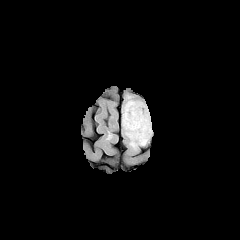
FLAIR magnetic resonance.
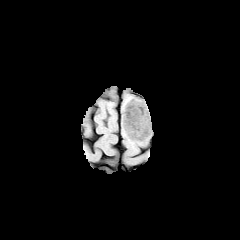
T1-weighted magnetic resonance.
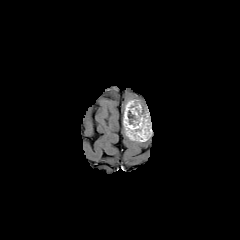
Post-contrast T1-weighted MR image.
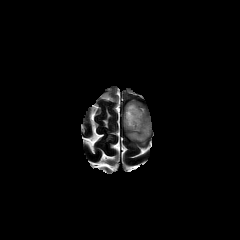
T2-weighted MR of the same slice.
Brain. Axial plane.
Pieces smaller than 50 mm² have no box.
necrotic tumor core at <box>128,110,136,124</box>
enhancing tumor at <box>123,100,151,141</box>
peritumoral edema at <box>130,140,147,147</box>